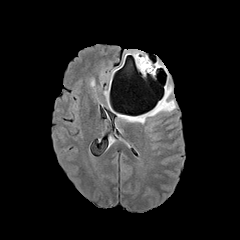
FLAIR MR image.
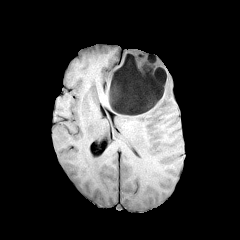
T1-weighted MR image.
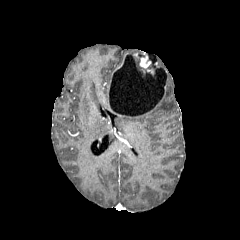
Post-contrast T1-weighted MRI of the same slice.
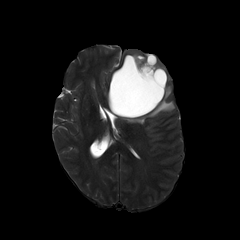
Same slice, T2-weighted magnetic resonance.
Brain; Axial plane
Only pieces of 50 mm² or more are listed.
peritumoral edema at {"x1": 127, "y1": 115, "x2": 145, "y2": 123}, {"x1": 147, "y1": 87, "x2": 175, "y2": 116}
enhancing tumor at {"x1": 112, "y1": 53, "x2": 127, "y2": 73}, {"x1": 142, "y1": 102, "x2": 160, "y2": 115}, {"x1": 140, "y1": 57, "x2": 150, "y2": 68}
necrotic tumor core at {"x1": 109, "y1": 54, "x2": 167, "y2": 116}